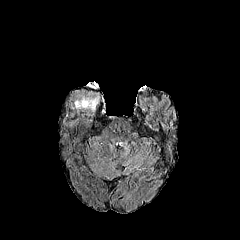
FLAIR MRI.
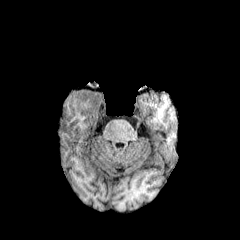
Same slice, T1-weighted MRI.
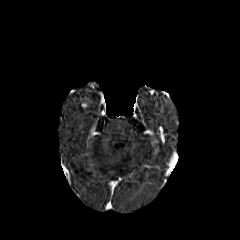
Post-contrast T1-weighted MR image of the same slice.
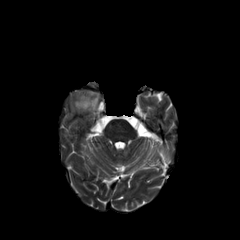
T2-weighted MRI.
Brain
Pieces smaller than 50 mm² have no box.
enhancing tumor: box=[80, 96, 91, 108] | peritumoral edema: box=[69, 92, 100, 112]